FLAIR MRI.
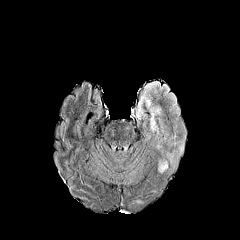
T1-weighted MRI.
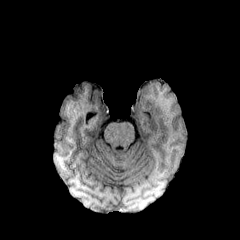
Post-contrast T1-weighted MR.
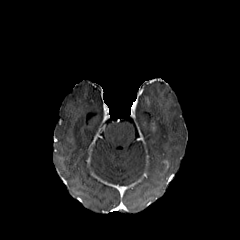
T2-weighted MRI.
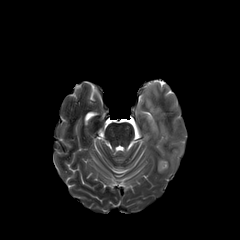
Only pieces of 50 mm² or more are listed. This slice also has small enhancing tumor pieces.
Annotated regions:
- peritumoral edema: 158 160 167 172, 166 152 173 162, 137 84 153 115, 146 98 160 134